Brain. Axial plane.
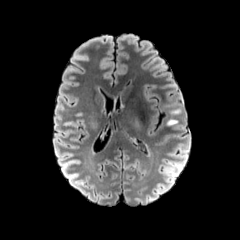
FLAIR MR image.
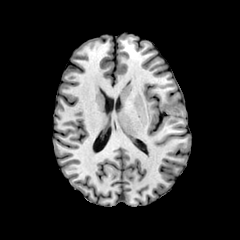
T1-weighted magnetic resonance.
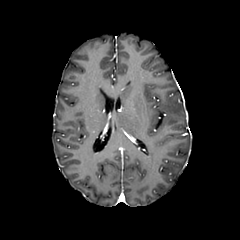
Post-contrast T1-weighted MR.
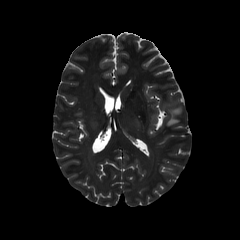
Same slice, T2-weighted MRI.
peritumoral_edema:
  - (x1=170, y1=108, x2=180, y2=114)
  - (x1=167, y1=118, x2=177, y2=125)